Axial view; 240x240
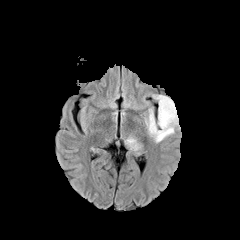
FLAIR MRI.
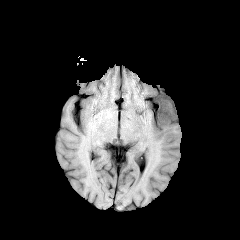
Same slice, T1-weighted MR.
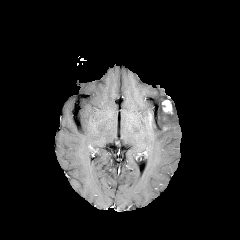
Post-contrast T1-weighted MRI of the same slice.
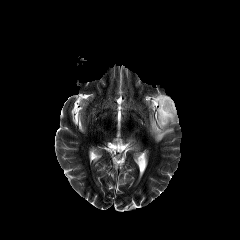
T2-weighted MR.
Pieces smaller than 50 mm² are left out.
Findings:
* peritumoral edema: box(125, 137, 140, 151); box(145, 94, 179, 142)
* enhancing tumor: box(162, 99, 172, 113)